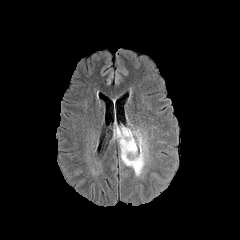
FLAIR MR.
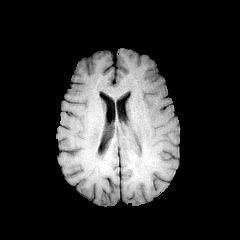
Same slice, T1-weighted MR image.
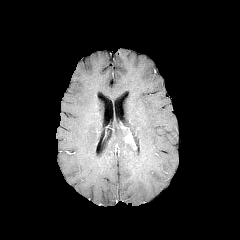
Post-contrast T1-weighted MR.
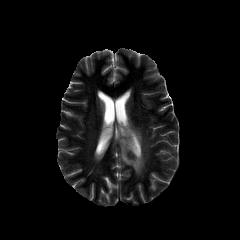
T2-weighted MR image.
<segmentation>
  <peritumoral_edema>(left=114, top=123, right=147, bottom=175)</peritumoral_edema>
</segmentation>